Axial slice | Head
FLAIR MR image.
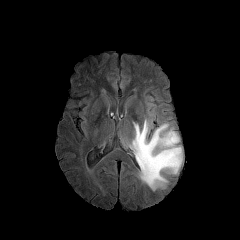
T1-weighted MR.
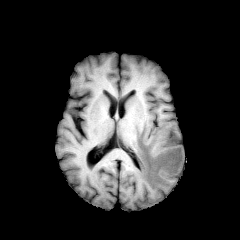
Post-contrast T1-weighted MR image.
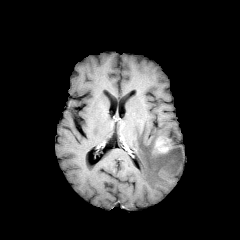
T2-weighted magnetic resonance.
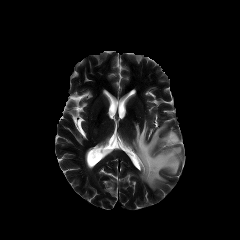
enhancing tumor: l=156, t=138, r=171, b=152 | peritumoral edema: l=130, t=120, r=183, b=190